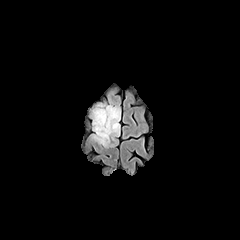
FLAIR MR.
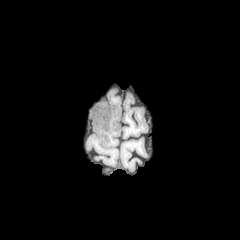
T1-weighted MRI.
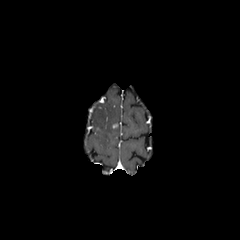
Same slice, post-contrast T1-weighted MR.
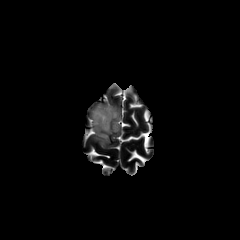
T2-weighted MRI.
Axial plane. Brain. 240x240.
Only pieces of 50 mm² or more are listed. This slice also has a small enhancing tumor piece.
The peritumoral edema lies within {"x1": 91, "y1": 104, "x2": 120, "y2": 146}.